FLAIR MR.
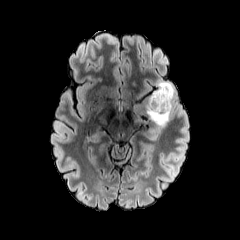
T1-weighted magnetic resonance.
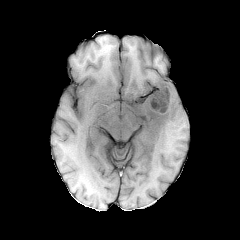
Post-contrast T1-weighted MR.
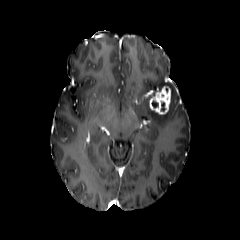
T2-weighted MRI.
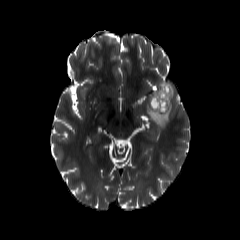
240x240. Axial view.
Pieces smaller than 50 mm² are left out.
<segmentation>
  <enhancing_tumor>[149, 86, 171, 114]</enhancing_tumor>
  <necrotic_tumor_core>[151, 100, 158, 108], [160, 100, 166, 111]</necrotic_tumor_core>
  <peritumoral_edema>[146, 80, 175, 128]</peritumoral_edema>
</segmentation>